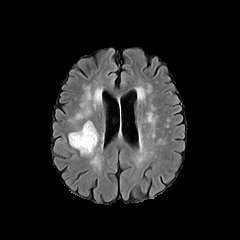
FLAIR MR image.
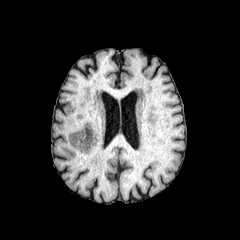
T1-weighted MR image.
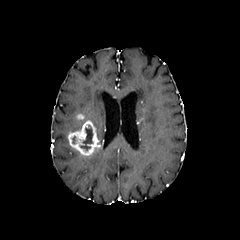
Post-contrast T1-weighted MRI of the same slice.
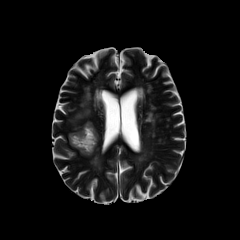
T2-weighted MR.
Brain, 240x240 px
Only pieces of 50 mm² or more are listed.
<segmentation>
  <enhancing_tumor>rect(68, 120, 99, 155)</enhancing_tumor>
  <necrotic_tumor_core>rect(80, 125, 92, 150)</necrotic_tumor_core>
  <peritumoral_edema>rect(69, 112, 83, 123)</peritumoral_edema>
</segmentation>